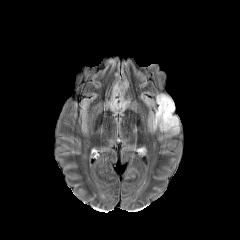
FLAIR MRI.
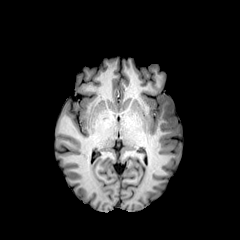
T1-weighted MRI of the same slice.
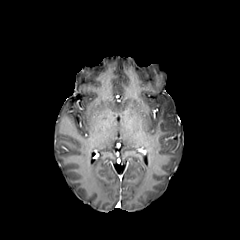
Post-contrast T1-weighted MR.
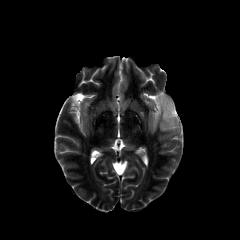
Same slice, T2-weighted MR image.
Brain. Image size 240x240. Axial slice.
peritumoral edema — (x1=153, y1=94, x2=179, y2=133)